Brain
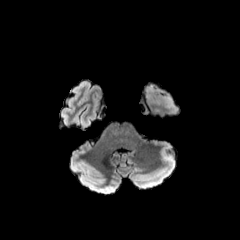
FLAIR magnetic resonance.
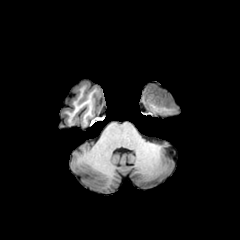
T1-weighted magnetic resonance.
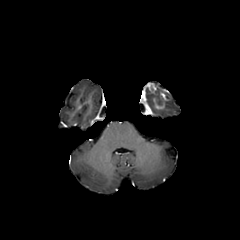
Post-contrast T1-weighted magnetic resonance.
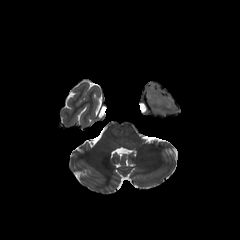
T2-weighted MR image.
Segmented structures:
* peritumoral edema: box(145, 89, 161, 110); box(165, 93, 174, 108)
* enhancing tumor: box(145, 83, 166, 109)